Slice 61 of 155; Brain
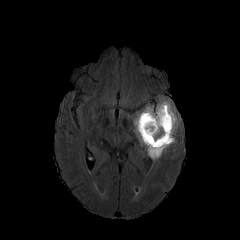
FLAIR MR.
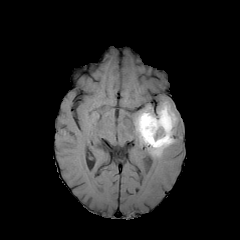
T1-weighted MR.
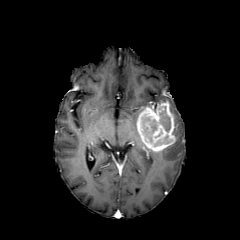
Post-contrast T1-weighted MRI of the same slice.
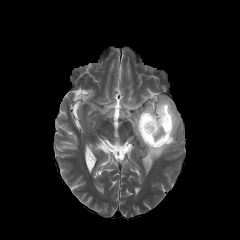
T2-weighted magnetic resonance.
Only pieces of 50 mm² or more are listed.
enhancing tumor — l=136, t=101, r=175, b=151
necrotic tumor core — l=154, t=135, r=169, b=146; l=160, t=107, r=170, b=131; l=142, t=116, r=156, b=142
peritumoral edema — l=158, t=96, r=181, b=135; l=133, t=109, r=144, b=146; l=145, t=144, r=173, b=160